FLAIR MRI.
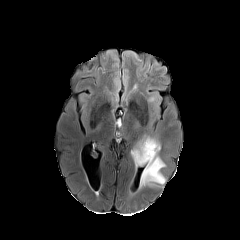
T1-weighted MR.
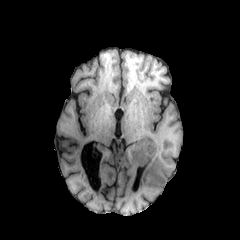
Post-contrast T1-weighted MR.
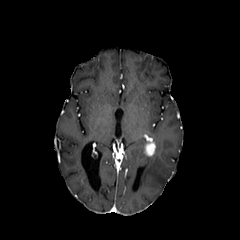
T2-weighted MR.
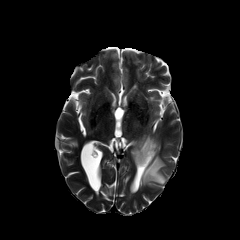
Brain.
The peritumoral edema is located at 131:140:165:185. The enhancing tumor lies within 143:140:155:156.